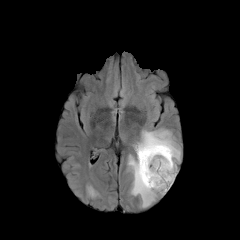
FLAIR MR.
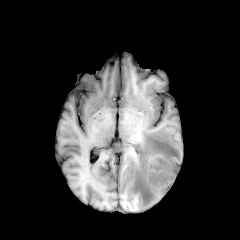
Same slice, T1-weighted MR image.
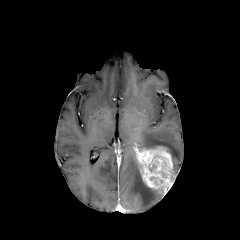
Post-contrast T1-weighted MR image of the same slice.
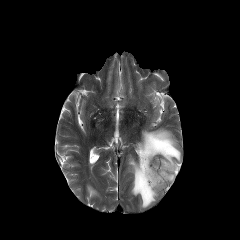
Same slice, T2-weighted MRI.
Axial view. Brain.
peritumoral edema = l=134, t=128, r=181, b=173; l=128, t=155, r=164, b=208
enhancing tumor = l=135, t=146, r=176, b=193